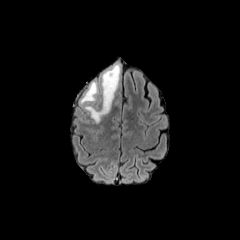
FLAIR MR.
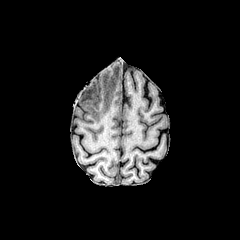
T1-weighted MRI of the same slice.
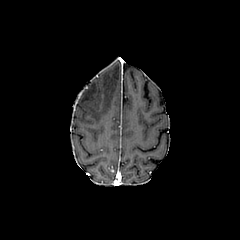
Post-contrast T1-weighted MR image of the same slice.
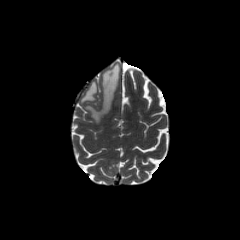
Same slice, T2-weighted MRI.
Image size 240x240; Head
peritumoral_edema:
  - [x1=80, y1=81, x2=97, y2=103]
  - [x1=84, y1=64, x2=120, y2=123]